FLAIR magnetic resonance.
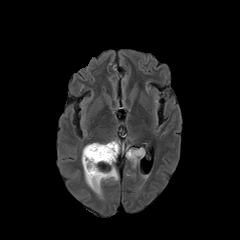
T1-weighted magnetic resonance.
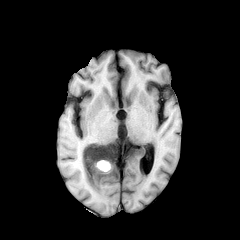
Post-contrast T1-weighted MR.
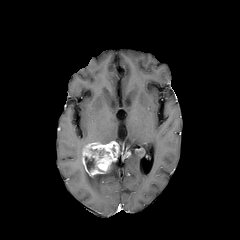
T2-weighted MR image.
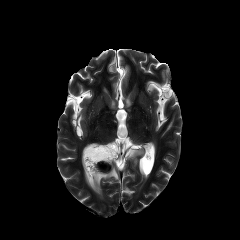
Brain
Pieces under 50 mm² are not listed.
enhancing tumor: (82, 141, 123, 177) | necrotic tumor core: (85, 157, 95, 171) | peritumoral edema: (127, 148, 145, 167), (83, 162, 118, 197)